Head; Image width 240 mm, 1.00 mm slice spacing; Axial plane
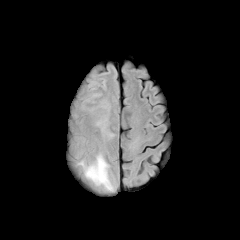
FLAIR MR image.
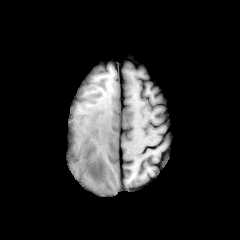
T1-weighted MR image.
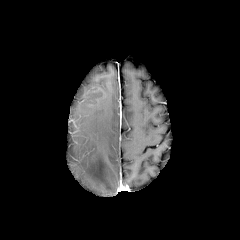
Post-contrast T1-weighted MR image.
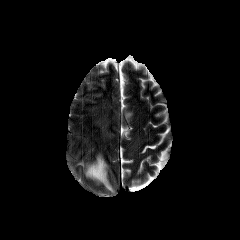
Same slice, T2-weighted magnetic resonance.
The peritumoral edema lies within (79,154,113,191).